FLAIR MRI.
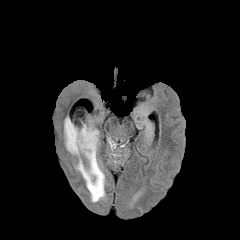
T1-weighted MR image.
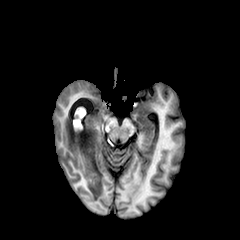
Post-contrast T1-weighted MR.
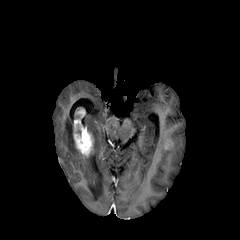
T2-weighted MR image.
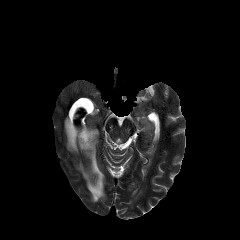
Image size 240x240; Brain
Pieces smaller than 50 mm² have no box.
The largest peritumoral edema region is at 64,116,105,202. The enhancing tumor is at 73,126,93,157.